FLAIR MRI.
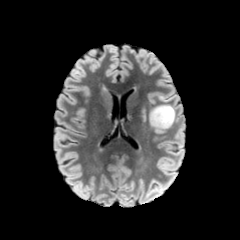
T1-weighted MRI.
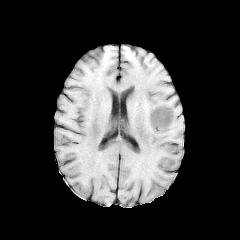
Post-contrast T1-weighted magnetic resonance.
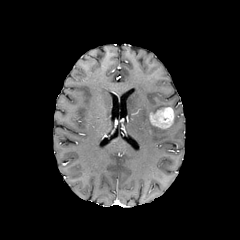
T2-weighted MRI.
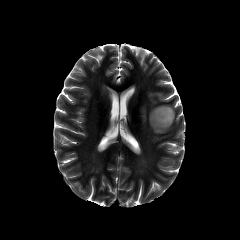
Image size 240x240.
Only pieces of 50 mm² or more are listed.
Segmented structures:
- peritumoral edema: bbox(150, 122, 168, 132); bbox(150, 105, 178, 123)
- enhancing tumor: bbox(150, 107, 174, 128)